Axial view | Image size 240x240 | Slice 72/155 | Brain | Image width 240 mm, 1.00 mm slice spacing
FLAIR magnetic resonance.
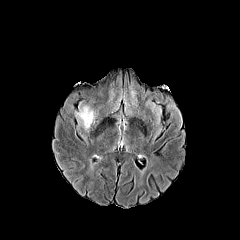
T1-weighted MR.
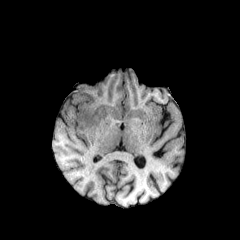
Post-contrast T1-weighted MRI.
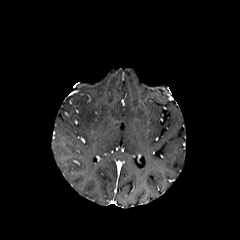
T2-weighted MRI.
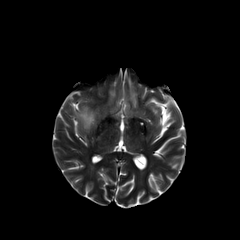
peritumoral edema: bounding box 77, 106, 95, 129